Head.
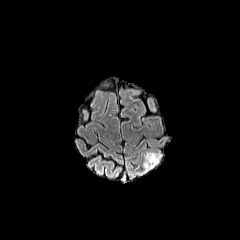
FLAIR MRI.
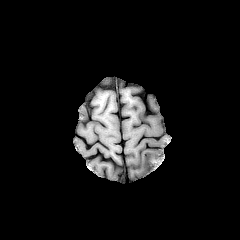
T1-weighted magnetic resonance.
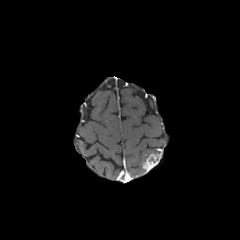
Post-contrast T1-weighted magnetic resonance.
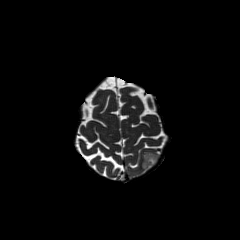
T2-weighted MR image of the same slice.
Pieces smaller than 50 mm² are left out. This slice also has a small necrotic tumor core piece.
Segmented structures:
- enhancing tumor: x1=143 y1=154 x2=159 y2=172
- peritumoral edema: x1=144 y1=152 x2=161 y2=161